FLAIR MRI.
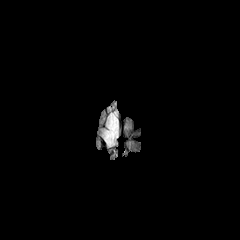
T1-weighted MRI.
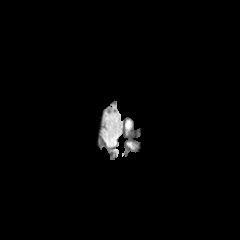
Post-contrast T1-weighted MR image.
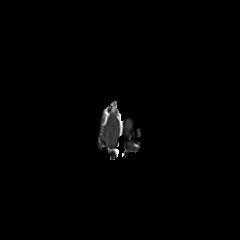
T2-weighted MR.
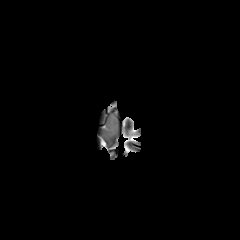
peritumoral edema: x1=103, y1=112, x2=118, y2=146